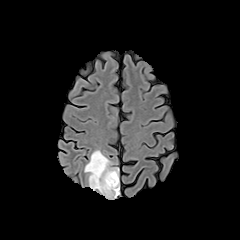
FLAIR magnetic resonance.
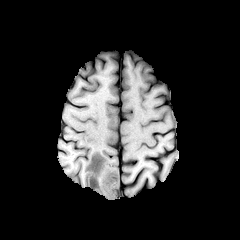
Same slice, T1-weighted MR.
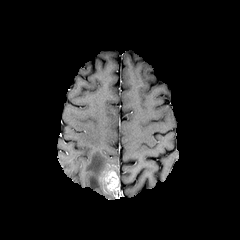
Post-contrast T1-weighted MRI.
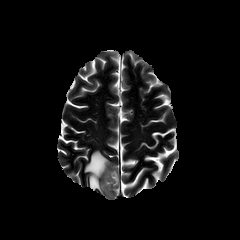
T2-weighted MR.
Brain
peritumoral edema: 84,150,117,197 | enhancing tumor: 100,170,117,194